FLAIR magnetic resonance.
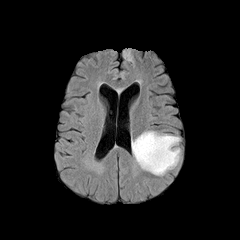
T1-weighted MR image.
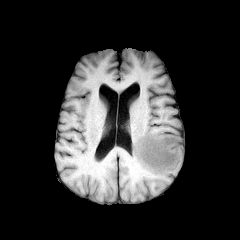
Post-contrast T1-weighted MRI.
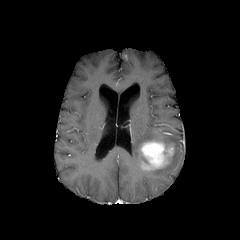
T2-weighted magnetic resonance.
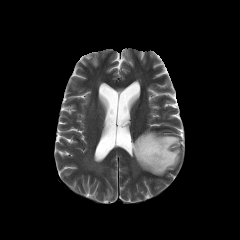
Head. Image size 240x240.
peritumoral_edema:
  - (left=131, top=131, right=180, bottom=175)
  - (left=124, top=49, right=131, bottom=61)
enhancing_tumor:
  - (left=138, top=137, right=173, bottom=170)